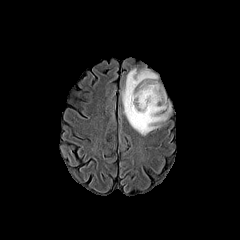
FLAIR MR image.
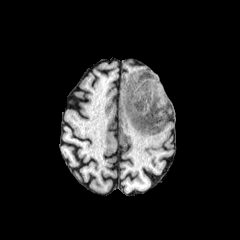
T1-weighted MR image of the same slice.
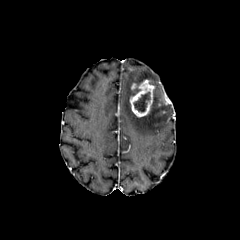
Post-contrast T1-weighted MR.
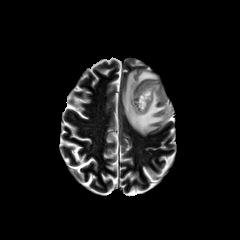
T2-weighted MR image.
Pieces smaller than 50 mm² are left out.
enhancing tumor: <box>129,80,154,117</box>
necrotic tumor core: <box>133,92,150,112</box>
peritumoral edema: <box>121,69,171,135</box>